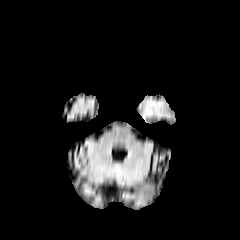
FLAIR magnetic resonance.
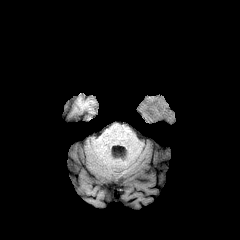
Same slice, T1-weighted magnetic resonance.
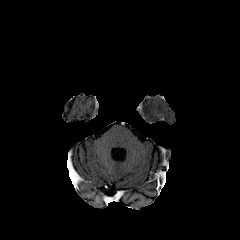
Post-contrast T1-weighted magnetic resonance of the same slice.
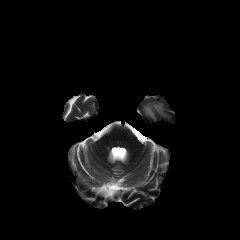
Same slice, T2-weighted MRI.
Axial plane, Head
peritumoral edema: [144,102,161,115]